240x240 px, Brain
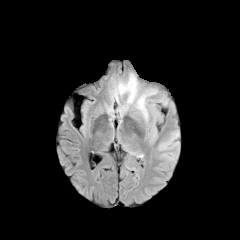
FLAIR MRI.
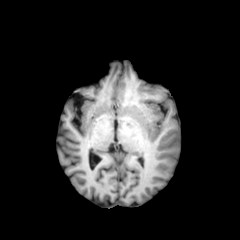
T1-weighted MR image of the same slice.
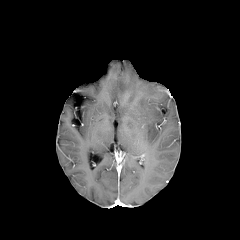
Post-contrast T1-weighted MRI.
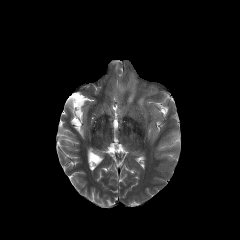
Same slice, T2-weighted MR image.
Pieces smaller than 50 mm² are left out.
peritumoral_edema:
  - [137, 95, 147, 118]
  - [116, 75, 136, 102]